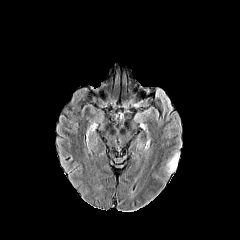
FLAIR MR image.
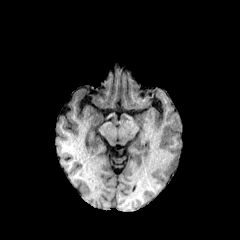
Same slice, T1-weighted MR image.
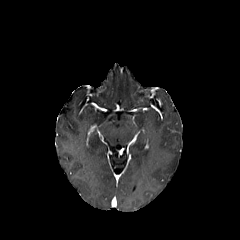
Post-contrast T1-weighted MR.
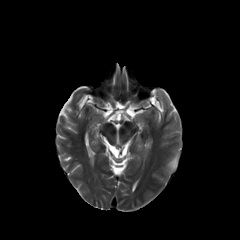
T2-weighted MR image of the same slice.
Axial view; Brain
peritumoral edema — rect(167, 153, 179, 172)